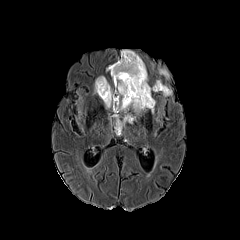
FLAIR MR.
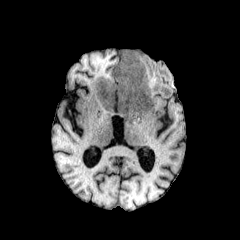
T1-weighted MR of the same slice.
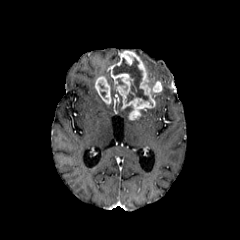
Post-contrast T1-weighted magnetic resonance.
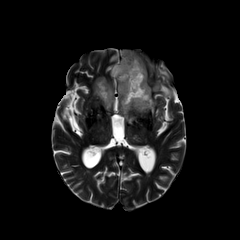
Same slice, T2-weighted MR image.
Brain, Axial slice
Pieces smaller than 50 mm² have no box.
enhancing tumor — <bbox>113, 96, 119, 109</bbox>, <bbox>108, 50, 162, 120</bbox>, <bbox>95, 76, 111, 105</bbox>
peritumoral edema — <bbox>110, 78, 131, 112</bbox>, <bbox>124, 114, 132, 123</bbox>, <bbox>158, 68, 169, 78</bbox>, <bbox>162, 84, 171, 96</bbox>
necrotic tumor core — <bbox>113, 58, 148, 102</bbox>